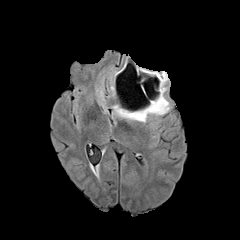
FLAIR MR.
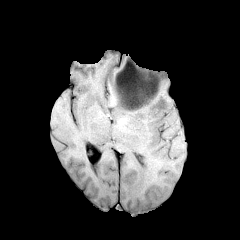
T1-weighted MR of the same slice.
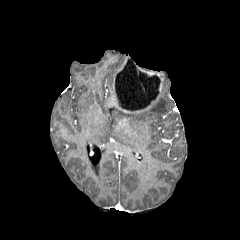
Same slice, post-contrast T1-weighted MRI.
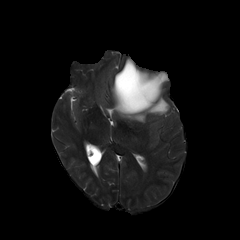
T2-weighted magnetic resonance of the same slice.
Axial view
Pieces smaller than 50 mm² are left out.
The 3 largest enhancing tumor regions are bounded by region(116, 103, 141, 112); region(154, 72, 163, 92); region(115, 60, 126, 74). The peritumoral edema is at region(113, 72, 169, 122). The necrotic tumor core is at region(115, 59, 160, 111).